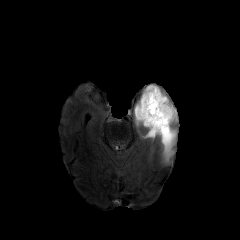
FLAIR MR image.
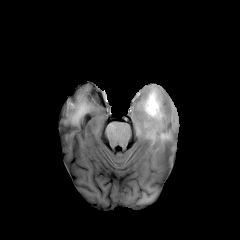
T1-weighted MR of the same slice.
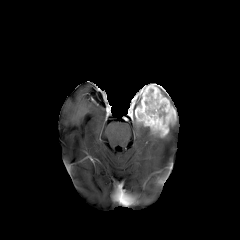
Post-contrast T1-weighted MRI.
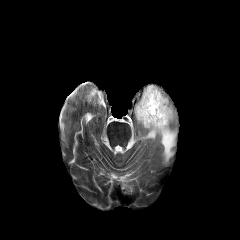
T2-weighted MRI.
240x240 px; Axial plane
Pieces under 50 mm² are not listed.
peritumoral edema: bounding box [133, 98, 177, 163]
enhancing tumor: bounding box [134, 84, 176, 136]